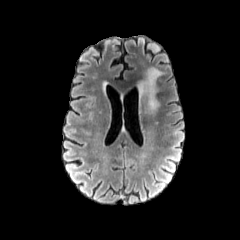
FLAIR MR.
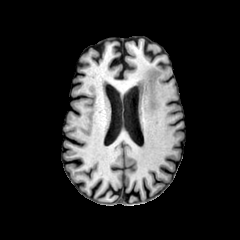
Same slice, T1-weighted magnetic resonance.
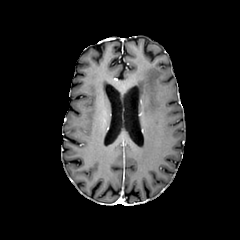
Post-contrast T1-weighted magnetic resonance.
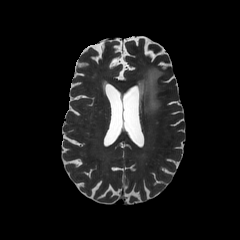
Same slice, T2-weighted MR image.
Axial view; 240x240
The peritumoral edema is located at x1=137, y1=67, x2=163, y2=115.